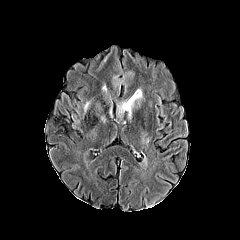
FLAIR magnetic resonance.
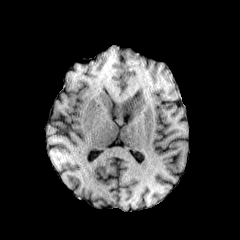
T1-weighted MR image.
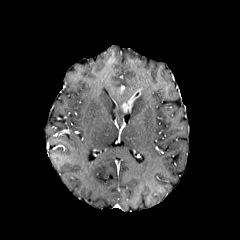
Post-contrast T1-weighted MR image.
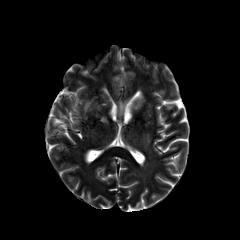
T2-weighted magnetic resonance.
Head
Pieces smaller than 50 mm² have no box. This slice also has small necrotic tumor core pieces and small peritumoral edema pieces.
* enhancing tumor: 120 90 140 112